FLAIR MRI.
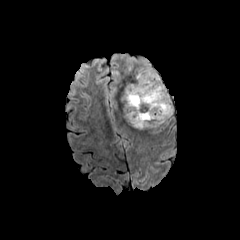
T1-weighted MRI.
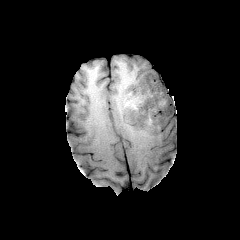
Post-contrast T1-weighted MRI.
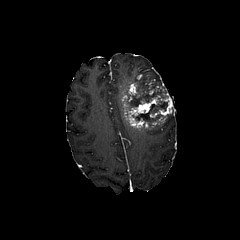
T2-weighted MR.
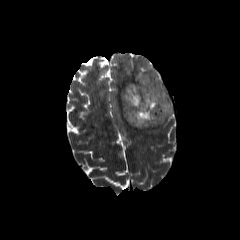
Axial view
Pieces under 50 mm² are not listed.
Annotated regions:
- necrotic tumor core: <box>127,76,166,110</box>, <box>132,98,168,125</box>
- peritumoral edema: <box>135,66,158,80</box>
- enhancing tumor: <box>121,77,172,129</box>, <box>137,73,156,88</box>